FLAIR MR.
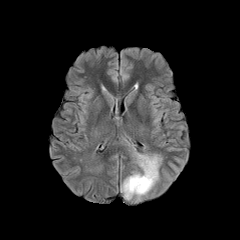
T1-weighted MR image.
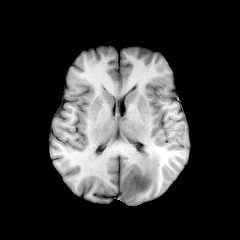
Post-contrast T1-weighted magnetic resonance.
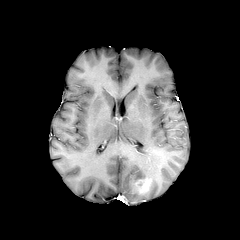
T2-weighted MR.
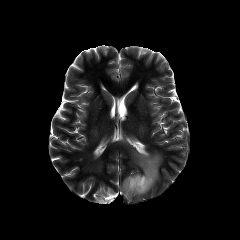
240x240 px. Brain.
{
  "peritumoral_edema": [
    {"x1": 121, "y1": 153, "x2": 161, "y2": 199}
  ],
  "enhancing_tumor": [
    {"x1": 131, "y1": 177, "x2": 151, "y2": 193}
  ]
}